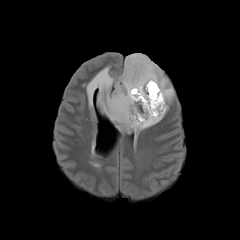
FLAIR MR image.
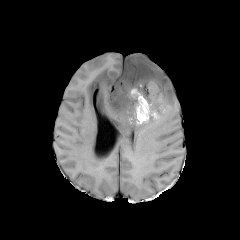
T1-weighted MR of the same slice.
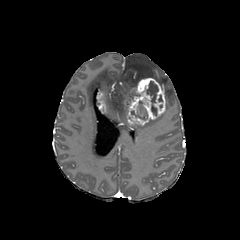
Post-contrast T1-weighted MRI of the same slice.
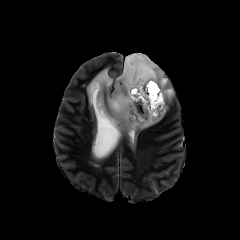
Same slice, T2-weighted magnetic resonance.
Axial plane
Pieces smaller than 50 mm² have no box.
2 enhancing tumor regions appear at bbox=[97, 91, 106, 113]; bbox=[124, 77, 165, 128]. The 2 largest necrotic tumor core regions are located at bbox=[131, 101, 147, 119]; bbox=[146, 81, 158, 114]. The peritumoral edema appears at bbox=[86, 53, 174, 133].